Slice 81 of 155. Head. Axial plane. 240x240 px.
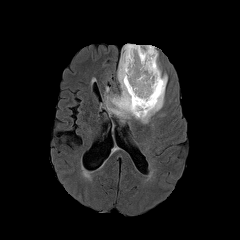
FLAIR MR.
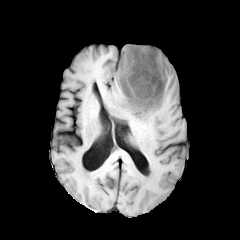
T1-weighted MR of the same slice.
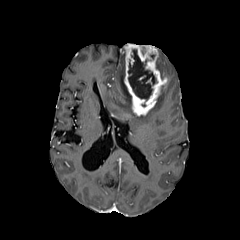
Post-contrast T1-weighted MR image.
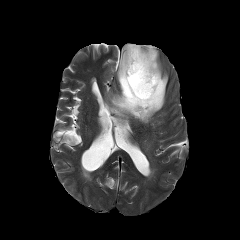
T2-weighted magnetic resonance.
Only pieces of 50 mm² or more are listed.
The largest necrotic tumor core region is at (128, 49, 156, 100). The 2 largest peritumoral edema regions appear at (105, 47, 165, 123), (156, 58, 167, 78). The largest enhancing tumor region is bounded by (124, 44, 167, 115).